FLAIR MRI.
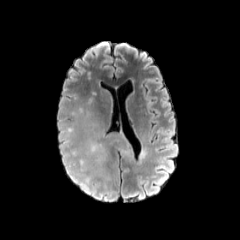
T1-weighted MR image.
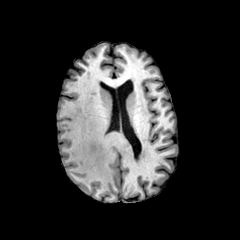
Post-contrast T1-weighted MR image.
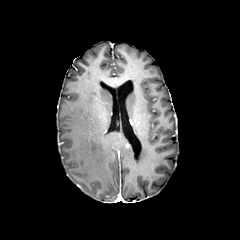
T2-weighted MR image.
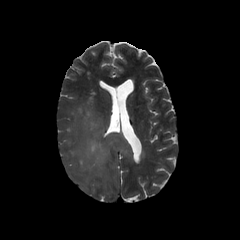
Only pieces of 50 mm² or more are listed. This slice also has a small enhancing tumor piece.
peritumoral edema — [x1=72, y1=122, x2=109, y2=183]